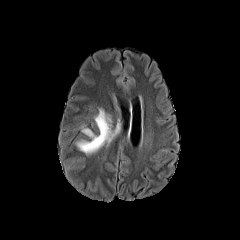
FLAIR MR image.
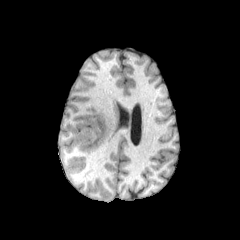
T1-weighted MR image of the same slice.
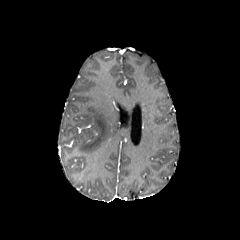
Post-contrast T1-weighted MR image of the same slice.
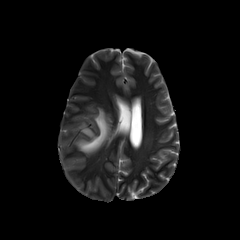
T2-weighted MR.
Head. Axial view. 240x240.
{"peritumoral_edema": ["l=77, t=107, r=120, b=153"]}